FLAIR MRI.
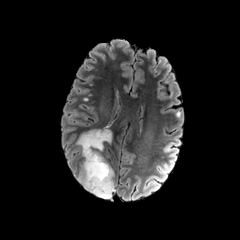
T1-weighted magnetic resonance.
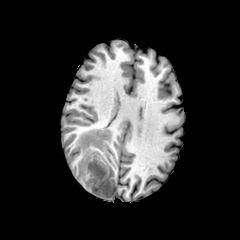
Post-contrast T1-weighted MR image.
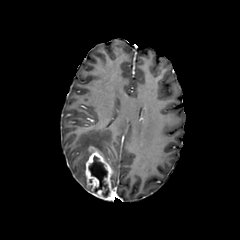
T2-weighted MR image.
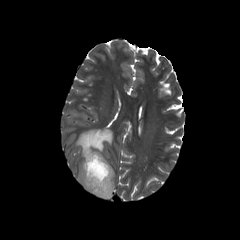
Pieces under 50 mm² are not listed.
{"necrotic_tumor_core": ["box=[89, 156, 109, 197]"], "peritumoral_edema": ["box=[76, 125, 112, 190]"], "enhancing_tumor": ["box=[85, 146, 115, 199]"]}